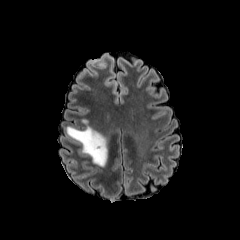
FLAIR MR image.
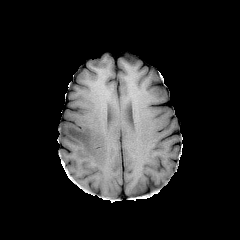
T1-weighted MRI.
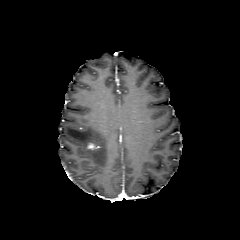
Post-contrast T1-weighted MR image.
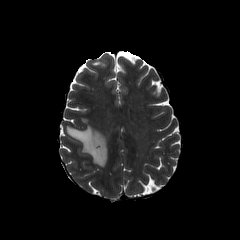
T2-weighted MR of the same slice.
Brain.
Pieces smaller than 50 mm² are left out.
The largest peritumoral edema region is located at <box>65,126,107,166</box>. The enhancing tumor is located at <box>87,143,99,149</box>.